Axial slice. Head.
FLAIR MR.
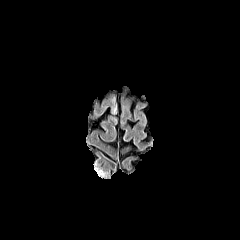
T1-weighted magnetic resonance.
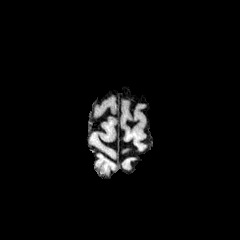
Post-contrast T1-weighted MRI.
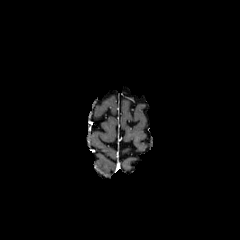
T2-weighted magnetic resonance.
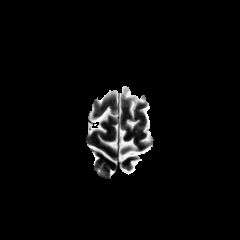
peritumoral_edema:
  - [111,97,117,113]